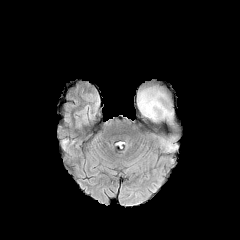
FLAIR MR.
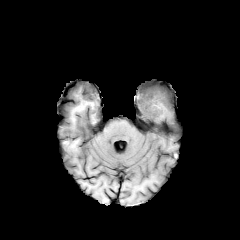
T1-weighted MR.
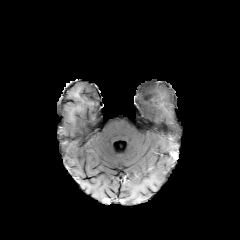
Same slice, post-contrast T1-weighted MR image.
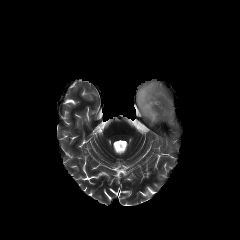
T2-weighted MR image.
Head.
peritumoral edema at (134, 80, 181, 137)